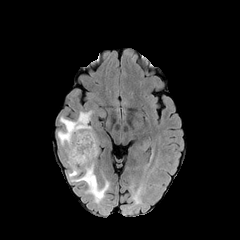
FLAIR MRI.
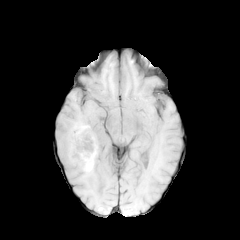
T1-weighted magnetic resonance.
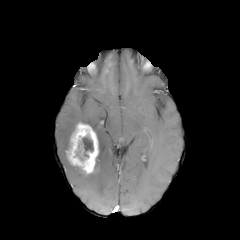
Same slice, post-contrast T1-weighted MR image.
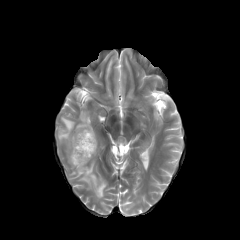
Same slice, T2-weighted magnetic resonance.
Brain
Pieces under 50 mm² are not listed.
peritumoral edema = l=67, t=160, r=108, b=202; l=57, t=111, r=92, b=151
enhancing tumor = l=66, t=122, r=98, b=174
necrotic tumor core = l=82, t=137, r=93, b=156